Brain, 240x240 px, Slice 68/155, Axial view
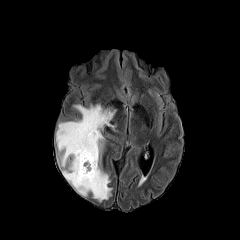
FLAIR magnetic resonance.
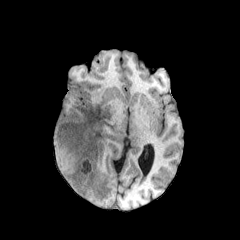
T1-weighted MR.
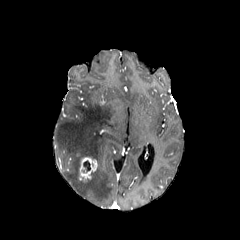
Same slice, post-contrast T1-weighted magnetic resonance.
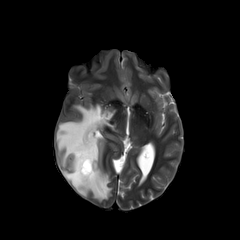
T2-weighted magnetic resonance.
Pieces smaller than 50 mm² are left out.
necrotic tumor core = <bbox>83, 160, 90, 172</bbox>
enhancing tumor = <bbox>79, 157, 97, 181</bbox>
peritumoral edema = <bbox>56, 104, 115, 201</bbox>